Image covers 240 mm x 240 mm, Axial slice, Head
FLAIR MRI.
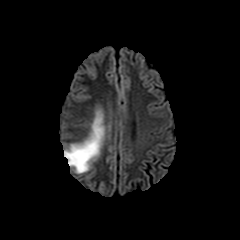
T1-weighted MR image.
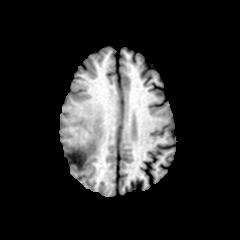
Post-contrast T1-weighted MR image.
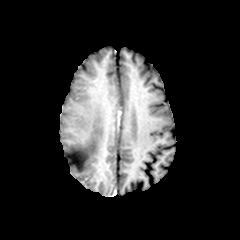
T2-weighted MR.
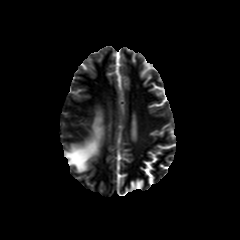
peritumoral edema: bounding box bbox(64, 110, 104, 173)